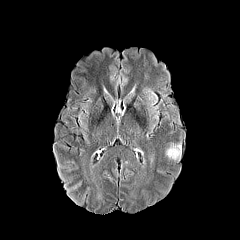
FLAIR MR.
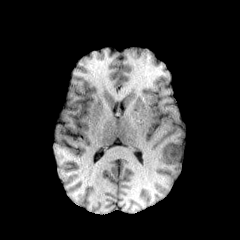
T1-weighted MRI.
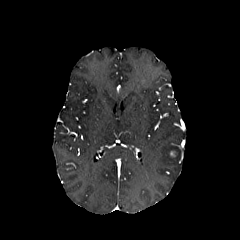
Same slice, post-contrast T1-weighted MR image.
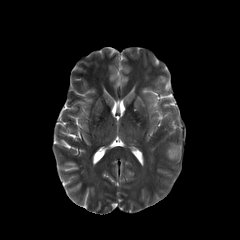
T2-weighted MRI.
Head.
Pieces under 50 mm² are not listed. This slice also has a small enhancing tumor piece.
{"peritumoral_edema": ["bbox(167, 146, 180, 159)"]}